FLAIR magnetic resonance.
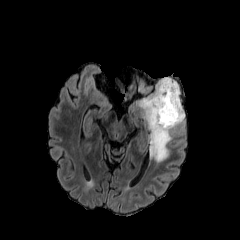
T1-weighted MRI.
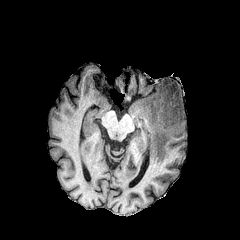
Post-contrast T1-weighted MR image.
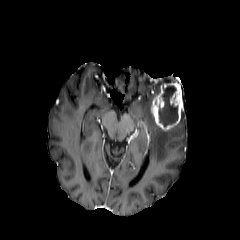
T2-weighted magnetic resonance.
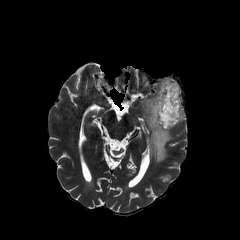
Head.
enhancing tumor = l=150, t=82, r=183, b=130
necrotic tumor core = l=158, t=85, r=178, b=126
peritumoral edema = l=138, t=77, r=185, b=162